Image width 240 mm | Axial view
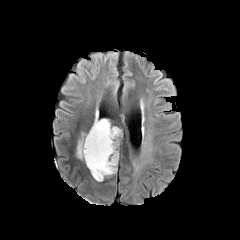
FLAIR magnetic resonance.
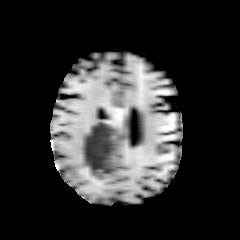
T1-weighted MR of the same slice.
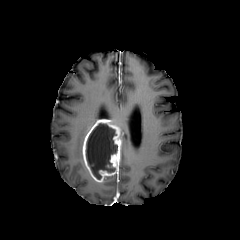
Same slice, post-contrast T1-weighted MR image.
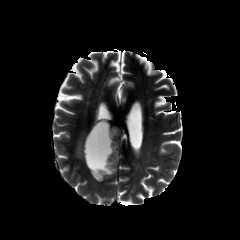
T2-weighted MRI.
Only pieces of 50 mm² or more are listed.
The largest enhancing tumor region is bounded by 82 119 122 182. The necrotic tumor core is located at 86 123 117 179. The largest peritumoral edema region is bounded by 77 133 85 158.